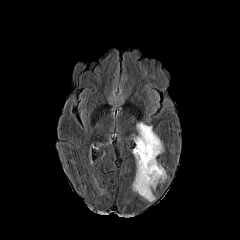
FLAIR MR image.
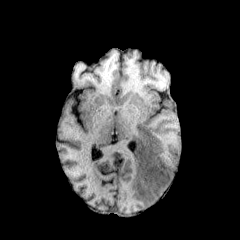
T1-weighted MR image of the same slice.
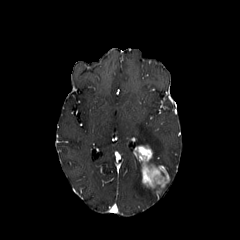
Same slice, post-contrast T1-weighted MRI.
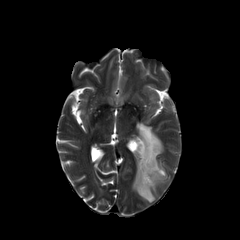
T2-weighted MR.
Head | Axial slice
Annotated regions:
• enhancing tumor: <bbox>134, 145, 169, 189</bbox>
• peritumoral edema: <bbox>136, 122, 163, 165</bbox>, <bbox>132, 158, 155, 202</bbox>